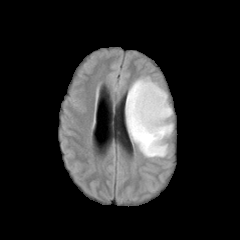
FLAIR MR.
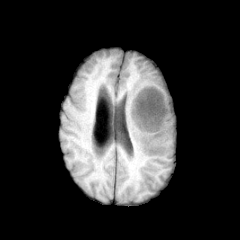
T1-weighted magnetic resonance.
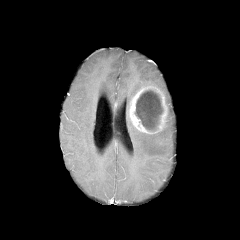
Same slice, post-contrast T1-weighted MRI.
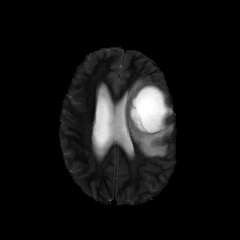
T2-weighted magnetic resonance.
Brain. Image size 240x240.
Annotated regions:
- necrotic tumor core: 135:90:163:130
- peritumoral edema: 126:77:173:157
- enhancing tumor: 128:85:169:134